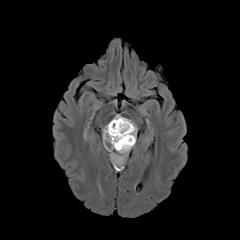
FLAIR magnetic resonance.
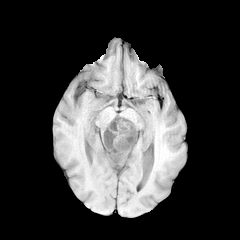
T1-weighted magnetic resonance.
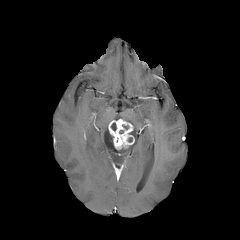
Post-contrast T1-weighted MR of the same slice.
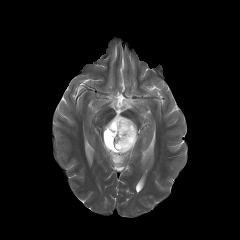
T2-weighted MRI.
Axial slice; Brain; Image size 240x240
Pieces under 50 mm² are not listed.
{"necrotic_tumor_core": ["<box>106,131,113,146</box>"], "enhancing_tumor": ["<box>107,118,134,150</box>"], "peritumoral_edema": ["<box>102,114,137,168</box>"]}